Image width 240 mm, Image size 240x240
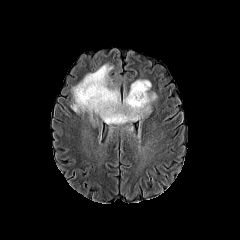
FLAIR MR image.
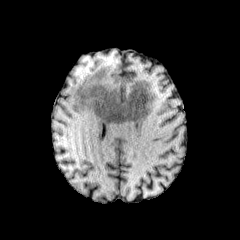
Same slice, T1-weighted magnetic resonance.
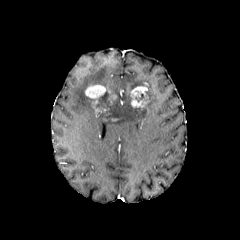
Same slice, post-contrast T1-weighted MRI.
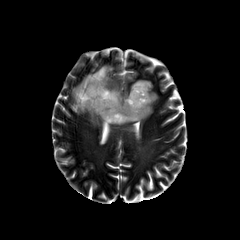
T2-weighted MR.
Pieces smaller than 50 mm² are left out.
necrotic tumor core = 91:90:147:121
enhancing tumor = 85:84:110:98, 130:83:149:107
peritumoral edema = 122:126:133:132, 71:64:120:121, 99:80:156:125, 101:94:109:107